Slice 37 of 155; Brain; Image size 240x240; Axial slice
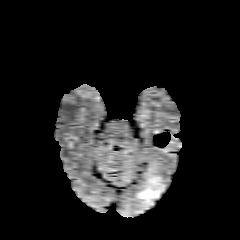
FLAIR MR image.
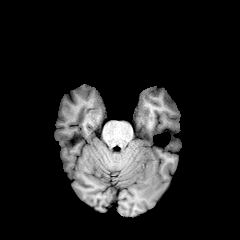
T1-weighted MR image of the same slice.
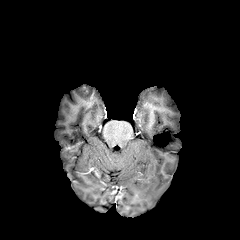
Post-contrast T1-weighted magnetic resonance of the same slice.
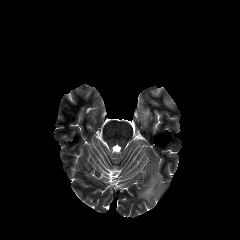
Same slice, T2-weighted magnetic resonance.
The peritumoral edema is located at 137 163 165 208.